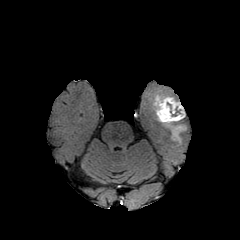
FLAIR magnetic resonance.
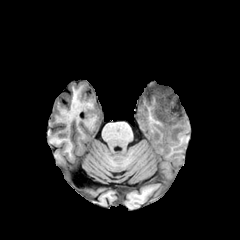
T1-weighted MR image of the same slice.
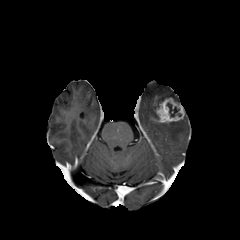
Post-contrast T1-weighted MR of the same slice.
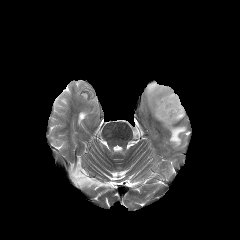
T2-weighted MR image of the same slice.
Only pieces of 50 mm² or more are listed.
enhancing tumor: [155, 97, 184, 122]
peritumoral edema: [163, 122, 186, 145], [148, 87, 180, 110]
necrotic tumor core: [166, 103, 181, 117]